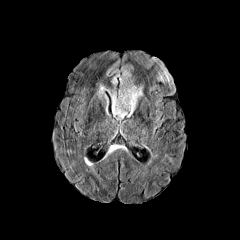
FLAIR MR image.
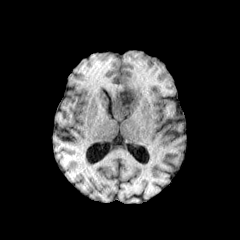
Same slice, T1-weighted magnetic resonance.
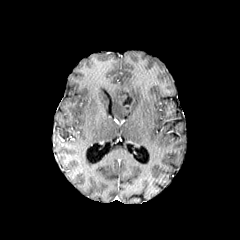
Same slice, post-contrast T1-weighted MR.
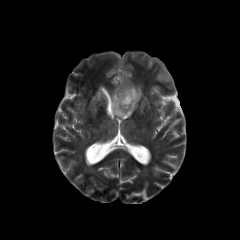
T2-weighted MR.
240x240 px.
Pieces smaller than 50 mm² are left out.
peritumoral edema: [x1=97, y1=67, x2=142, y2=120]
enhancing tumor: [x1=114, y1=87, x2=134, y2=107]
necrotic tumor core: [x1=120, y1=90, x2=131, y2=105]